FLAIR MR image.
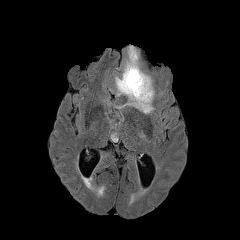
T1-weighted MRI.
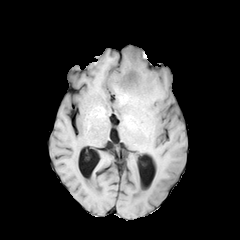
Post-contrast T1-weighted MR image.
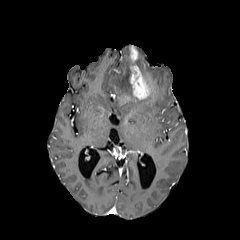
T2-weighted magnetic resonance.
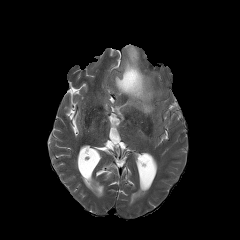
Image size 240x240 | Head | Axial view
The peritumoral edema lies within {"x1": 115, "y1": 47, "x2": 154, "y2": 113}. 2 enhancing tumor regions are located at {"x1": 129, "y1": 46, "x2": 138, "y2": 63}, {"x1": 129, "y1": 65, "x2": 151, "y2": 99}.